Head, 240x240
FLAIR MRI.
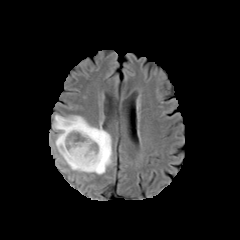
T1-weighted magnetic resonance.
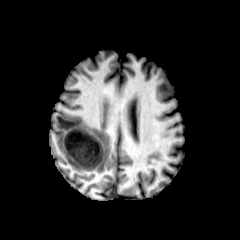
Post-contrast T1-weighted MRI.
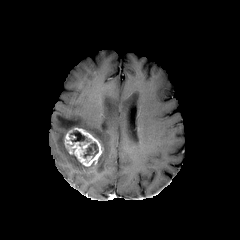
T2-weighted magnetic resonance.
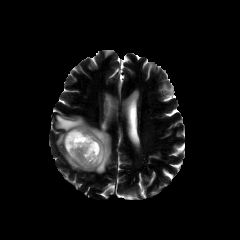
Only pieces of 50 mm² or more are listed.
<segmentation>
  <peritumoral_edema><bbox>54, 115, 112, 174</bbox></peritumoral_edema>
  <necrotic_tumor_core><bbox>70, 130, 88, 141</bbox>, <bbox>83, 142, 98, 157</bbox></necrotic_tumor_core>
  <enhancing_tumor><bbox>64, 127, 104, 167</bbox></enhancing_tumor>
</segmentation>